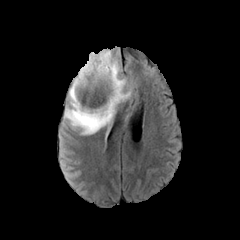
FLAIR MR image.
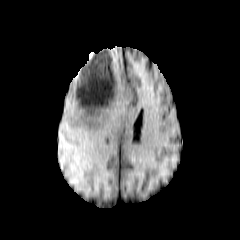
T1-weighted magnetic resonance.
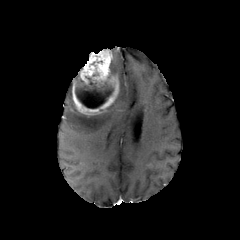
Post-contrast T1-weighted magnetic resonance.
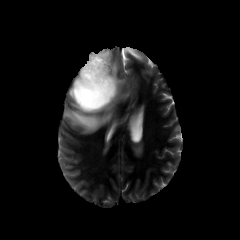
T2-weighted MR of the same slice.
Image size 240x240 | Axial plane | Head
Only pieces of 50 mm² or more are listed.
peritumoral edema: {"x1": 64, "y1": 54, "x2": 130, "y2": 133} | enhancing tumor: {"x1": 72, "y1": 49, "x2": 119, "y2": 115} | necrotic tumor core: {"x1": 76, "y1": 88, "x2": 112, "y2": 108}